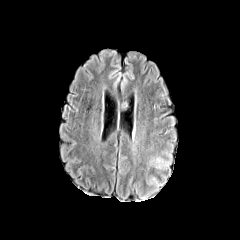
FLAIR magnetic resonance.
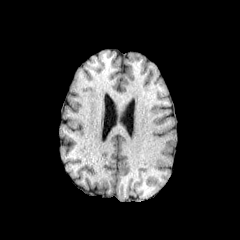
Same slice, T1-weighted MR image.
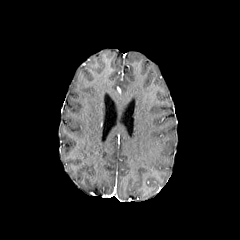
Same slice, post-contrast T1-weighted MR image.
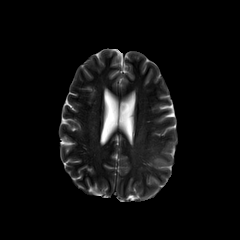
Same slice, T2-weighted magnetic resonance.
240x240 | Axial plane | Brain
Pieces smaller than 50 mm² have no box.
{"peritumoral_edema": ["<box>151,158,168,167</box>"]}